FLAIR MRI.
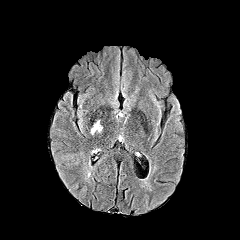
T1-weighted MRI.
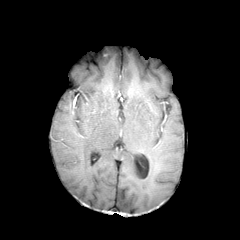
Post-contrast T1-weighted MR image.
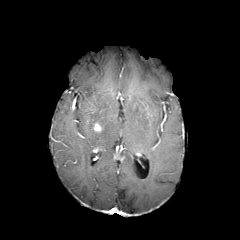
T2-weighted MR image.
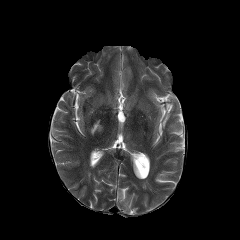
Head; 240x240 px
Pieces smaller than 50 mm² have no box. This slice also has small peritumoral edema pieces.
enhancing tumor: <box>94,123,101,131</box>